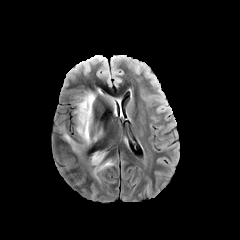
FLAIR magnetic resonance.
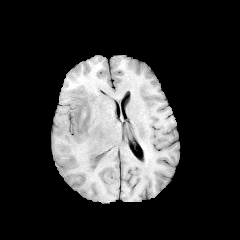
T1-weighted MR image.
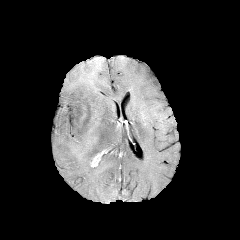
Post-contrast T1-weighted MR.
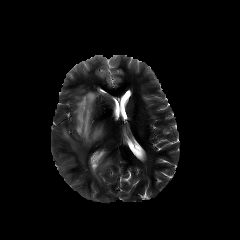
T2-weighted MR.
Axial slice; Brain
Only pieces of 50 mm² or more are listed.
The 3 largest peritumoral edema regions are bounded by 61 127 78 151, 93 153 113 178, 74 91 102 145.